Image covers 240 mm x 240 mm. Head. Slice 54/155.
FLAIR MRI.
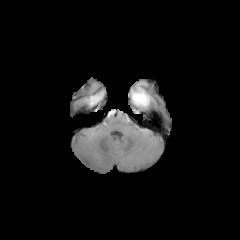
T1-weighted MR.
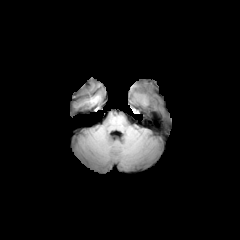
Post-contrast T1-weighted magnetic resonance.
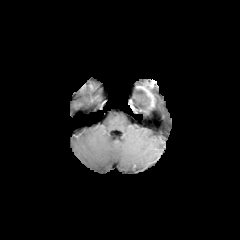
T2-weighted MR image.
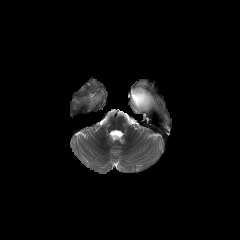
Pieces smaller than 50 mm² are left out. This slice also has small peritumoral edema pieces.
Segmented structures:
* enhancing tumor: box=[130, 86, 154, 111]
* necrotic tumor core: box=[132, 90, 150, 108]